FLAIR MR image.
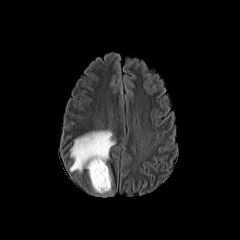
T1-weighted MR image.
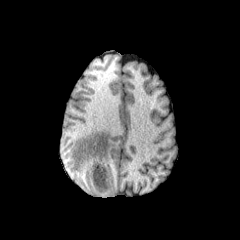
Post-contrast T1-weighted MR.
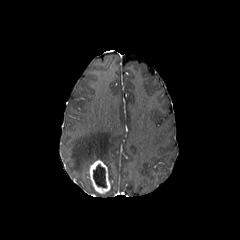
T2-weighted MR image.
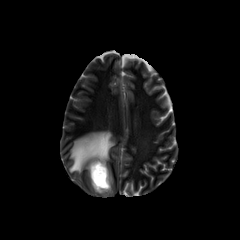
240x240 | Axial slice
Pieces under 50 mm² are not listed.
enhancing tumor at (89, 159, 110, 193)
peritumoral edema at (70, 130, 115, 172)
necrotic tumor core at (93, 165, 106, 187)